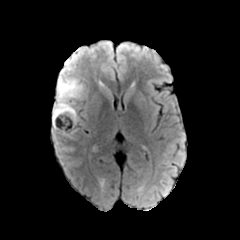
FLAIR MR image.
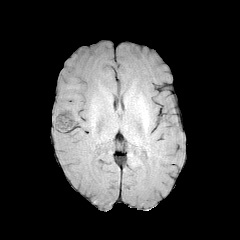
T1-weighted MR.
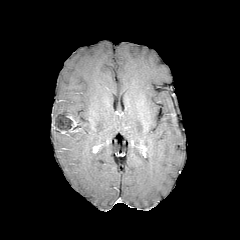
Same slice, post-contrast T1-weighted MR.
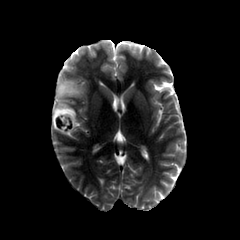
T2-weighted MRI.
Brain.
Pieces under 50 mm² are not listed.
enhancing tumor at left=57, top=114, right=79, bottom=135
necrotic tumor core at left=56, top=117, right=72, bottom=130
peritumoral edema at left=52, top=80, right=85, bottom=136